FLAIR magnetic resonance.
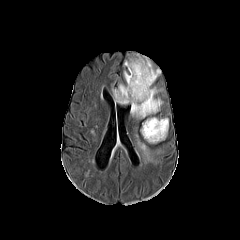
T1-weighted MR.
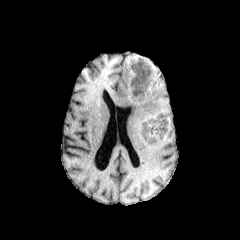
Post-contrast T1-weighted MR image.
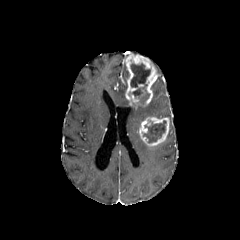
T2-weighted MRI.
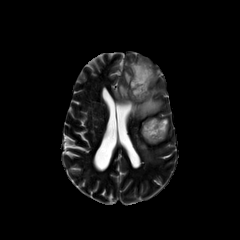
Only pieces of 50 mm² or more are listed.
Segmented structures:
- enhancing tumor: box(125, 54, 159, 108); box(139, 116, 169, 145)
- necrotic tumor core: box(143, 120, 166, 142); box(129, 88, 142, 96); box(130, 63, 150, 91)
- peritumoral edema: box(112, 84, 129, 104); box(130, 86, 162, 118); box(135, 135, 152, 160)